Slice 79/155, 240x240, Axial view
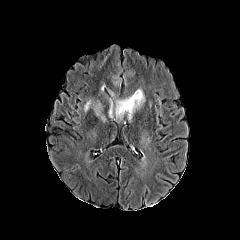
FLAIR MRI.
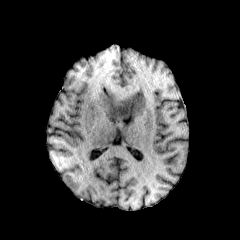
T1-weighted magnetic resonance.
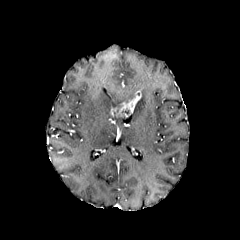
Same slice, post-contrast T1-weighted magnetic resonance.
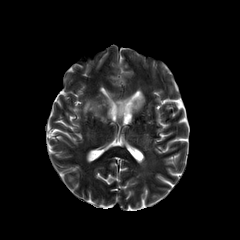
T2-weighted MR image.
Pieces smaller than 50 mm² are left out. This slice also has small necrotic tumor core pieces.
The largest enhancing tumor region is located at (116,91,141,117). The 4 largest peritumoral edema regions are bounded by (135,89,144,108), (115,94,133,106), (93,103,105,121), (84,101,91,112).